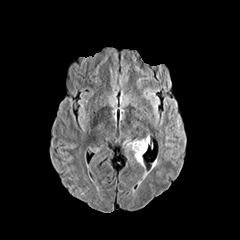
FLAIR magnetic resonance.
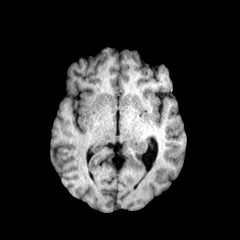
T1-weighted MR.
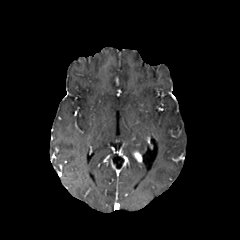
Same slice, post-contrast T1-weighted MR image.
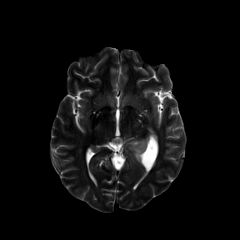
T2-weighted magnetic resonance.
Image size 240x240
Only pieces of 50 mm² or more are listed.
The enhancing tumor is located at box(133, 151, 142, 162). The largest peritumoral edema region lies within box(127, 140, 147, 154).